FLAIR magnetic resonance.
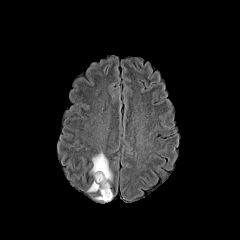
T1-weighted magnetic resonance.
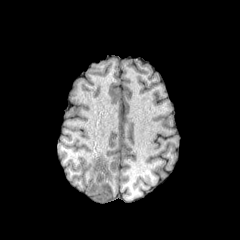
Post-contrast T1-weighted MRI.
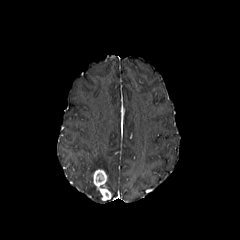
T2-weighted magnetic resonance.
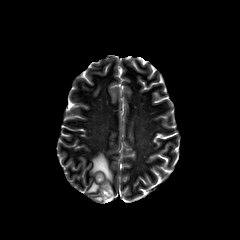
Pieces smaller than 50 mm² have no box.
peritumoral_edema:
  - [x1=90, y1=152, x2=112, y2=193]
  - [x1=87, y1=183, x2=97, y2=192]
necrotic_tumor_core:
  - [x1=96, y1=172, x2=105, y2=183]
enhancing_tumor:
  - [x1=93, y1=169, x2=112, y2=200]